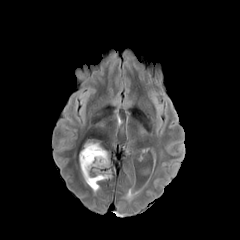
FLAIR MRI.
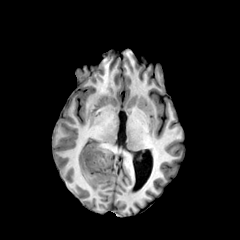
T1-weighted magnetic resonance of the same slice.
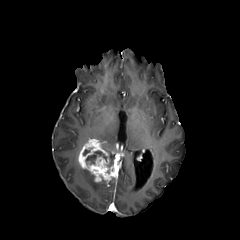
Post-contrast T1-weighted MR image.
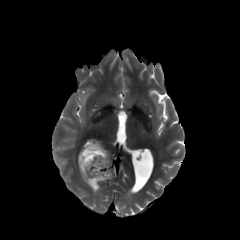
T2-weighted MR image.
Axial plane | Head | 240x240
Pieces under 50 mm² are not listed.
necrotic tumor core: region(86, 151, 106, 163) | peritumoral edema: region(81, 168, 99, 192) | enhancing tumor: region(78, 139, 115, 182)